FLAIR MRI.
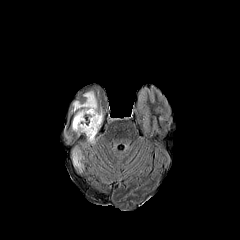
T1-weighted MR.
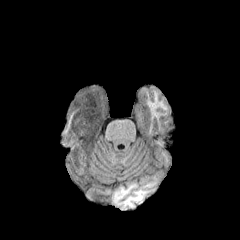
Post-contrast T1-weighted magnetic resonance.
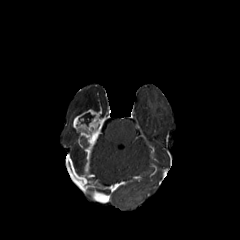
T2-weighted magnetic resonance.
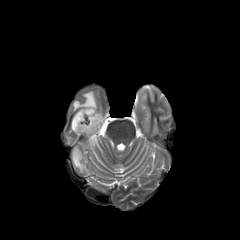
Axial view | Brain | Image size 240x240
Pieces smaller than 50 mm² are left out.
* necrotic tumor core: x1=79 y1=113 x2=94 y2=125
* enhancing tumor: x1=73 y1=109 x2=103 y2=145
* peritumoral edema: x1=72 y1=91 x2=98 y2=117, x1=72 y1=147 x2=83 y2=171